FLAIR MR image.
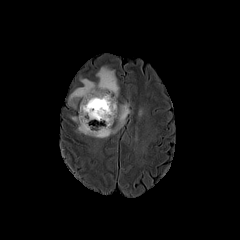
T1-weighted MR image.
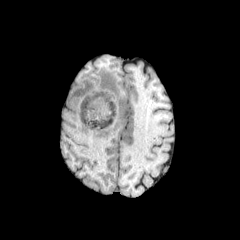
Post-contrast T1-weighted MRI.
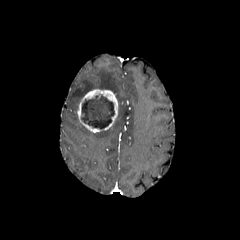
T2-weighted MR image.
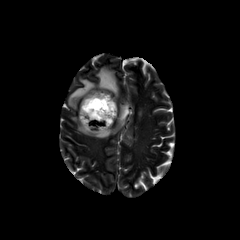
Axial slice; Brain
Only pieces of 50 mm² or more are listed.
The 2 largest peritumoral edema regions appear at (left=71, top=103, right=130, bottom=138), (left=68, top=66, right=119, bottom=108). The necrotic tumor core is at (left=81, top=95, right=114, bottom=128). The enhancing tumor lies within (left=77, top=89, right=118, bottom=132).